Axial plane. Head. Slice 67 of 155. Image width 240 mm, 1.00 mm slice spacing.
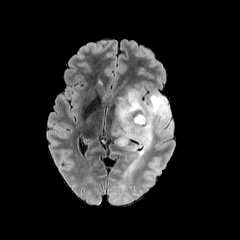
FLAIR magnetic resonance.
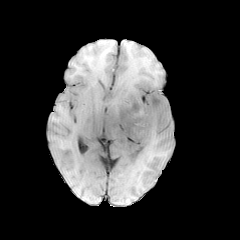
T1-weighted MR image.
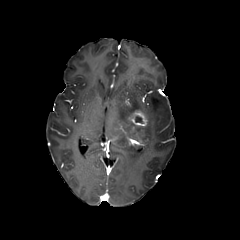
Post-contrast T1-weighted MRI of the same slice.
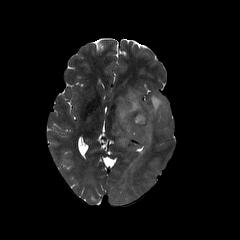
Same slice, T2-weighted magnetic resonance.
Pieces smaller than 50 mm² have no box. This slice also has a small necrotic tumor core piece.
peritumoral edema: (x1=113, y1=90, x2=172, y2=169)
enhancing tumor: (x1=127, y1=111, x2=148, y2=128)